FLAIR MR image.
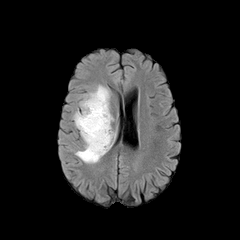
T1-weighted MR image.
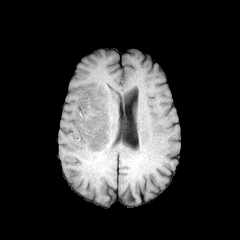
Post-contrast T1-weighted MR.
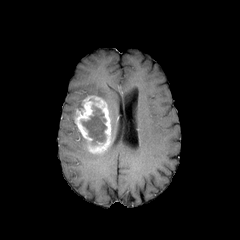
T2-weighted MR.
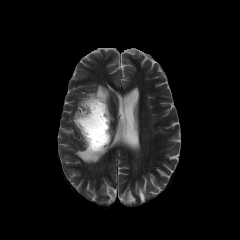
Axial view
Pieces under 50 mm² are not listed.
peritumoral edema: box=[83, 85, 113, 122]; box=[75, 135, 112, 163] | necrotic tumor core: box=[82, 107, 106, 144] | enhancing tumor: box=[74, 95, 111, 154]